Slice 61/155, Axial view
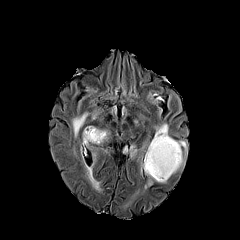
FLAIR MRI.
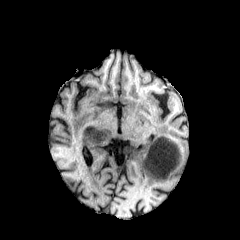
T1-weighted magnetic resonance.
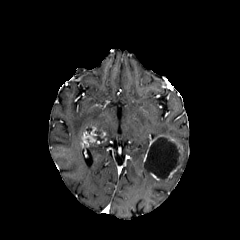
Same slice, post-contrast T1-weighted MR image.
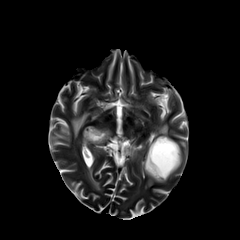
Same slice, T2-weighted MRI.
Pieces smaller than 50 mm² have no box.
The 2 largest necrotic tumor core regions are bounded by box=[144, 137, 180, 179]; box=[93, 130, 103, 141]. The 7 largest peritumoral edema regions are located at box=[123, 143, 138, 158]; box=[90, 130, 110, 145]; box=[72, 111, 95, 136]; box=[155, 124, 168, 136]; box=[100, 146, 113, 154]; box=[144, 169, 153, 188]; box=[177, 140, 186, 154]. The 2 largest enhancing tumor regions appear at box=[143, 135, 179, 166]; box=[82, 126, 97, 145].